FLAIR magnetic resonance.
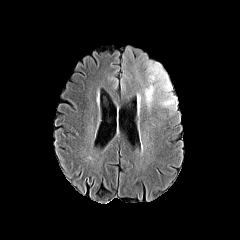
T1-weighted magnetic resonance.
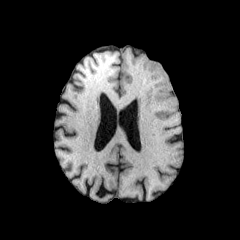
Post-contrast T1-weighted MRI.
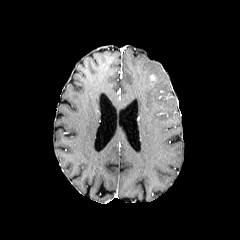
T2-weighted MRI.
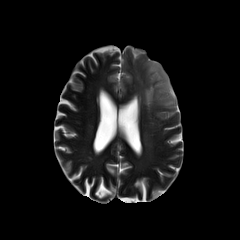
Image size 240x240
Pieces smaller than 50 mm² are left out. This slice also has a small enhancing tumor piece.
{"peritumoral_edema": [{"x1": 143, "y1": 60, "x2": 176, "y2": 110}]}